Head. Axial slice. Slice 97 of 155.
FLAIR MR.
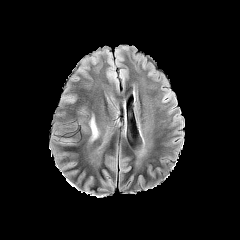
T1-weighted MR image.
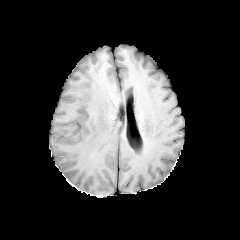
Post-contrast T1-weighted MR.
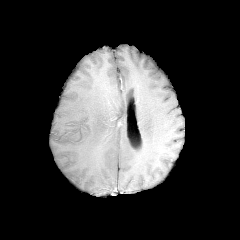
T2-weighted magnetic resonance.
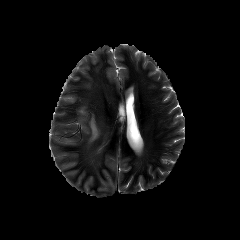
peritumoral_edema:
  - 89, 116, 99, 141